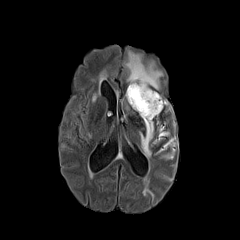
FLAIR MR image.
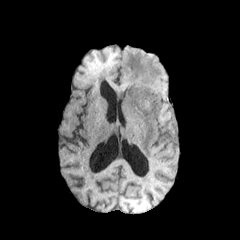
T1-weighted MR of the same slice.
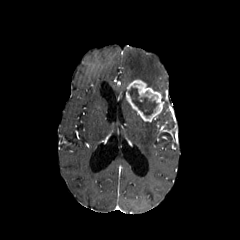
Same slice, post-contrast T1-weighted MR.
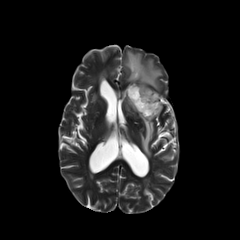
T2-weighted MR image.
240x240 | Axial slice
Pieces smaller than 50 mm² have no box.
peritumoral edema: bbox(164, 150, 174, 158); bbox(124, 50, 162, 90); bbox(140, 121, 154, 159)
necrotic tumor core: bbox(128, 87, 157, 117)
enhancing tumor: bbox(126, 79, 164, 121)